Axial plane; 240x240
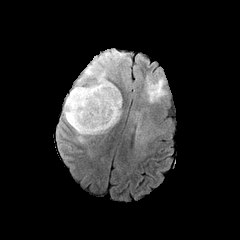
FLAIR MR.
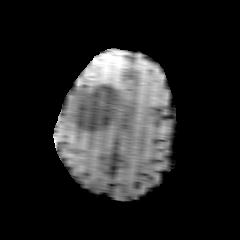
T1-weighted MR.
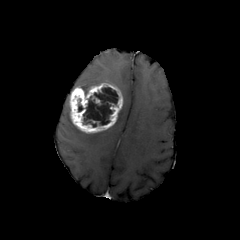
Post-contrast T1-weighted magnetic resonance of the same slice.
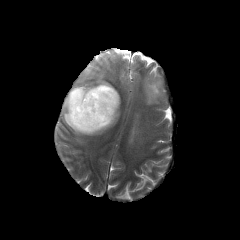
Same slice, T2-weighted MR image.
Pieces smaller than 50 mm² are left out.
Findings:
- enhancing tumor: left=69, top=81, right=122, bottom=133
- necrotic tumor core: left=84, top=87, right=117, bottom=124
- peritumoral edema: left=62, top=95, right=104, bottom=141; left=76, top=61, right=105, bottom=92